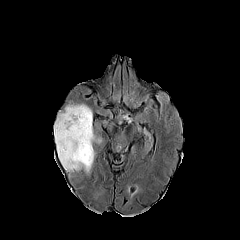
FLAIR magnetic resonance.
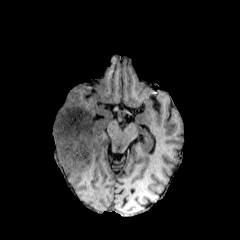
T1-weighted magnetic resonance.
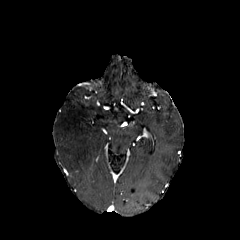
Same slice, post-contrast T1-weighted MR image.
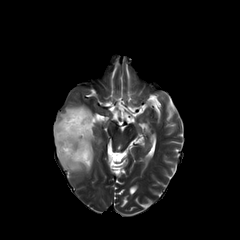
T2-weighted MRI.
Axial plane | 240x240
peritumoral_edema:
  - [54, 104, 100, 172]